Image width 240 mm, 1.00 mm slice spacing | 240x240 px
FLAIR magnetic resonance.
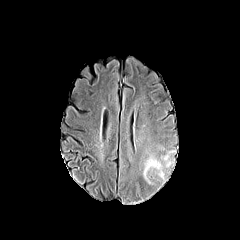
T1-weighted MR image.
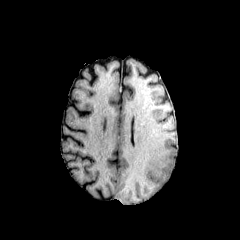
Post-contrast T1-weighted MR image.
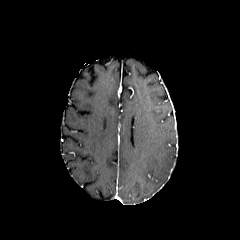
T2-weighted MR.
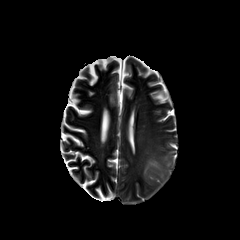
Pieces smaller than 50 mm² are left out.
<segmentation>
  <peritumoral_edema>x1=143, y1=156, x2=163, y2=179</peritumoral_edema>
</segmentation>